Slice 85/155. Image size 240x240. Image width 240 mm, 1.00 mm slice spacing.
FLAIR MR image.
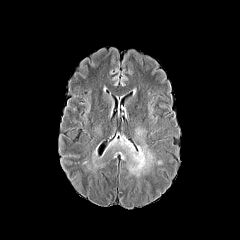
T1-weighted MR image.
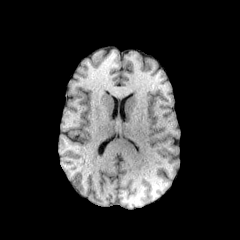
Post-contrast T1-weighted MR image.
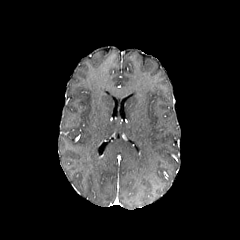
T2-weighted MR.
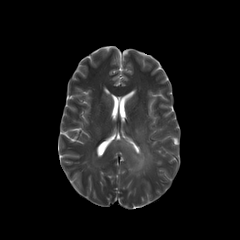
peritumoral edema: bounding box [85,148,104,174], [105,125,163,177]